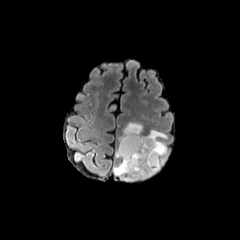
FLAIR MRI.
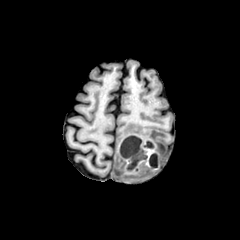
T1-weighted MRI.
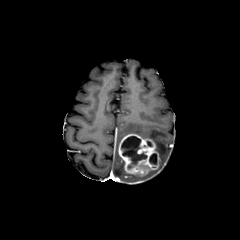
Post-contrast T1-weighted magnetic resonance of the same slice.
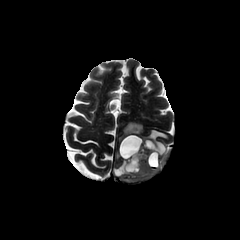
T2-weighted magnetic resonance.
Image size 240x240, Brain
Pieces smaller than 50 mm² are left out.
{"enhancing_tumor": ["[118,134,159,176]"], "necrotic_tumor_core": ["[149,153,157,164]", "[121,136,147,164]"], "peritumoral_edema": ["[113,122,167,181]"]}